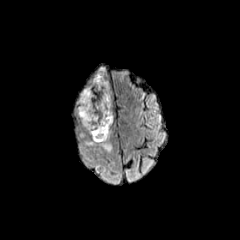
FLAIR MRI.
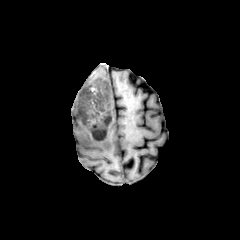
T1-weighted MR image.
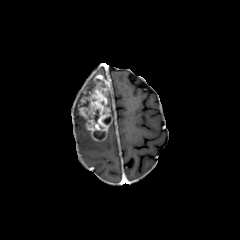
Post-contrast T1-weighted MR image of the same slice.
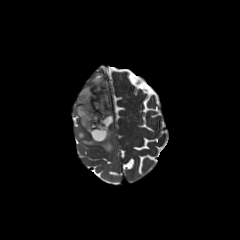
T2-weighted magnetic resonance.
Head
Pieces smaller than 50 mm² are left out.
The enhancing tumor is bounded by rect(79, 75, 112, 141). The 2 largest peritumoral edema regions appear at rect(83, 128, 112, 151); rect(76, 68, 105, 133). The 3 largest necrotic tumor core regions are bounded by rect(91, 79, 105, 92); rect(86, 109, 99, 122); rect(93, 131, 104, 139).